240x240 px | Brain
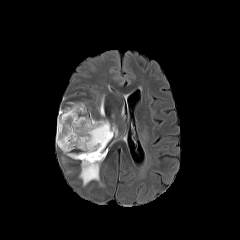
FLAIR MR.
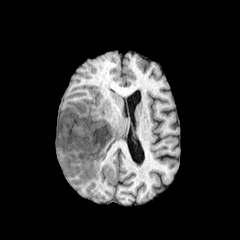
T1-weighted magnetic resonance of the same slice.
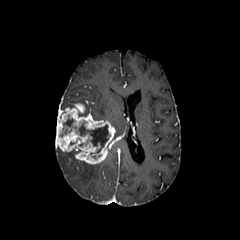
Same slice, post-contrast T1-weighted magnetic resonance.
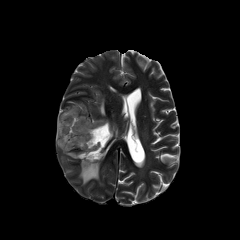
Same slice, T2-weighted MRI.
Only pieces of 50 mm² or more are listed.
necrotic tumor core = 79:123:109:153, 63:119:73:126
enhancing tumor = 55:100:115:164
peritumoral edema = 79:161:100:185, 63:150:80:158, 99:96:104:116